Image size 240x240 | Image width 240 mm, 1.00 mm slice spacing | Axial plane
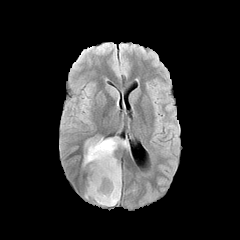
FLAIR MRI.
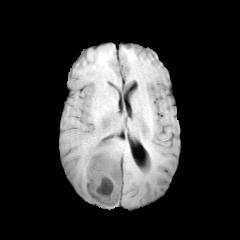
Same slice, T1-weighted MR image.
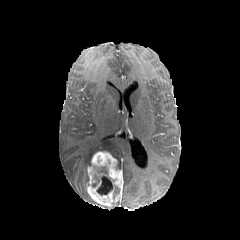
Post-contrast T1-weighted MR.
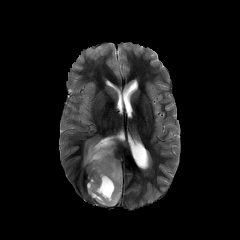
Same slice, T2-weighted MR.
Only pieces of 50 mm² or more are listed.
peritumoral_edema:
  - left=84, top=136, right=129, bottom=165
enhancing_tumor:
  - left=87, top=151, right=122, bottom=206
necrotic_tumor_core:
  - left=97, top=175, right=113, bottom=194